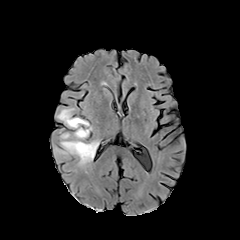
FLAIR MR image.
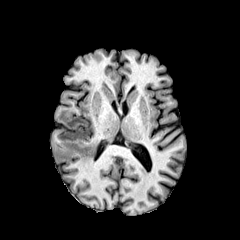
Same slice, T1-weighted MR.
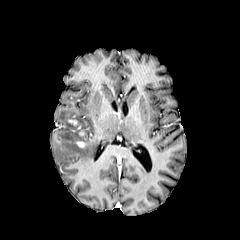
Post-contrast T1-weighted magnetic resonance.
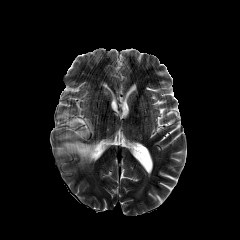
T2-weighted MR.
Axial view; 240x240 px
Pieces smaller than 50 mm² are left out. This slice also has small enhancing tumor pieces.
peritumoral edema — box=[56, 108, 99, 165]